Axial slice
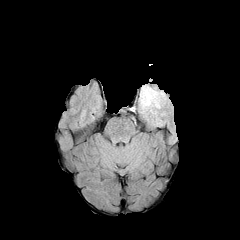
FLAIR magnetic resonance.
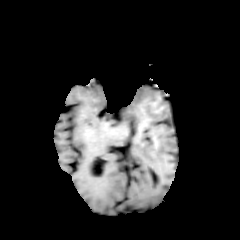
T1-weighted MRI.
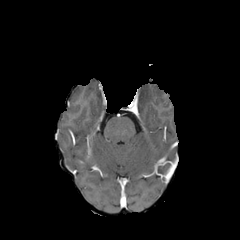
Same slice, post-contrast T1-weighted MR.
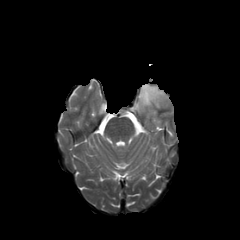
T2-weighted MR.
<segmentation>
  <peritumoral_edema>(left=138, top=84, right=166, bottom=116)</peritumoral_edema>
</segmentation>